Slice index 101; Image size 240x240; Head
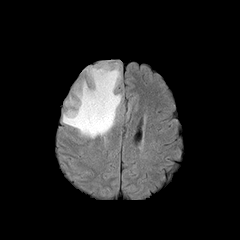
FLAIR MRI.
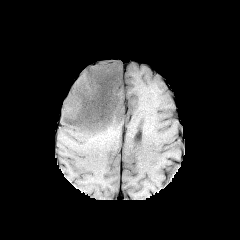
T1-weighted MR image.
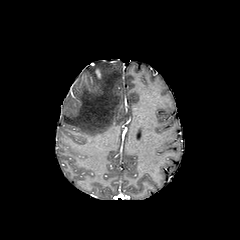
Post-contrast T1-weighted MRI.
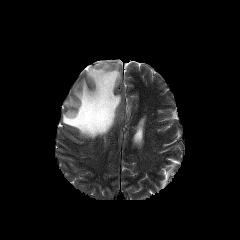
T2-weighted MRI of the same slice.
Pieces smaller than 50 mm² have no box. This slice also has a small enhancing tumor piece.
The peritumoral edema is at [62,62,121,138].